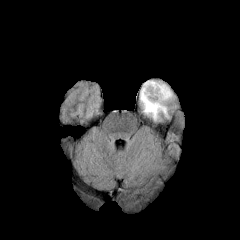
FLAIR MR.
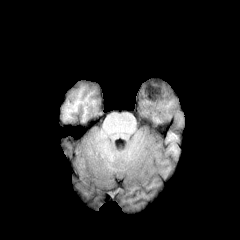
T1-weighted MRI of the same slice.
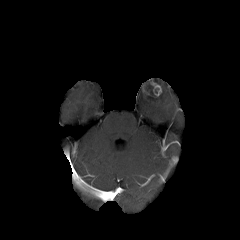
Post-contrast T1-weighted magnetic resonance of the same slice.
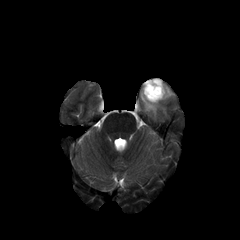
T2-weighted MR image.
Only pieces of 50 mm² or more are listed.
The 2 largest necrotic tumor core regions appear at (x1=146, y1=93, x2=163, y2=101), (x1=145, y1=84, x2=153, y2=94). The largest peritumoral edema region is located at (x1=140, y1=80, x2=174, y2=120). The enhancing tumor lies within (x1=142, y1=79, x2=162, y2=103).